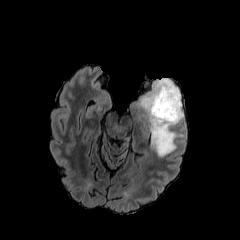
FLAIR MR.
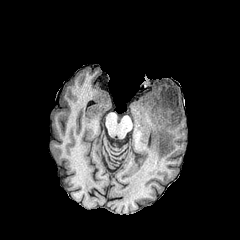
T1-weighted MR image of the same slice.
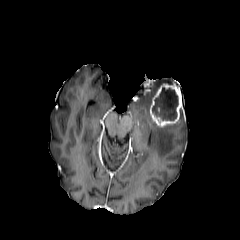
Post-contrast T1-weighted MR.
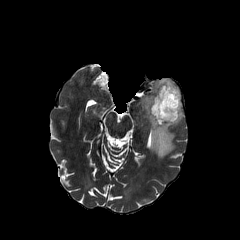
Same slice, T2-weighted MRI.
Brain
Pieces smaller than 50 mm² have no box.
The necrotic tumor core is at {"x1": 152, "y1": 87, "x2": 178, "y2": 120}. The peritumoral edema is located at {"x1": 139, "y1": 78, "x2": 184, "y2": 157}. The largest enhancing tumor region lies within {"x1": 150, "y1": 83, "x2": 182, "y2": 127}.